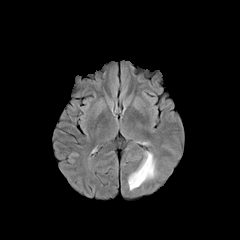
FLAIR MR image.
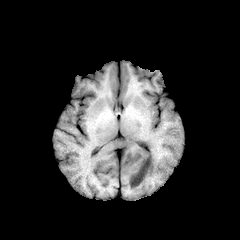
T1-weighted MRI.
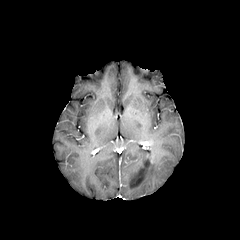
Post-contrast T1-weighted MRI.
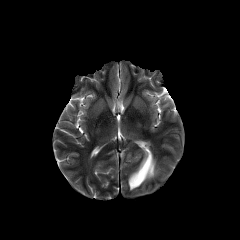
T2-weighted MRI.
Brain.
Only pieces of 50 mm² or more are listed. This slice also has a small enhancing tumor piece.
peritumoral edema at box(128, 152, 157, 190)